Slice 78 of 155 | Axial view
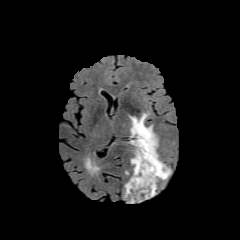
FLAIR MRI.
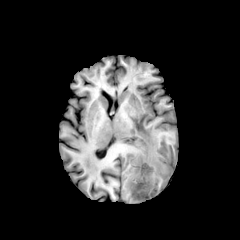
T1-weighted MRI.
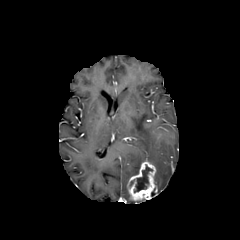
Same slice, post-contrast T1-weighted MRI.
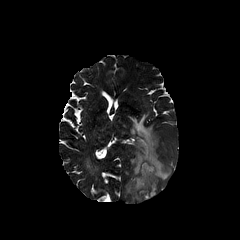
T2-weighted MRI of the same slice.
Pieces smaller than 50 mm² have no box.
enhancing tumor at l=127, t=160, r=156, b=200
necrotic tumor core at l=134, t=165, r=152, b=192
peritumoral edema at l=130, t=113, r=170, b=182